FLAIR MR image.
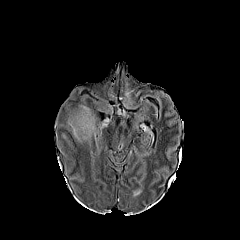
T1-weighted MRI.
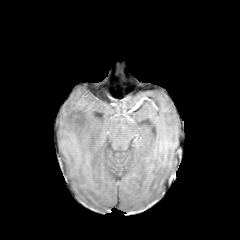
Post-contrast T1-weighted MRI.
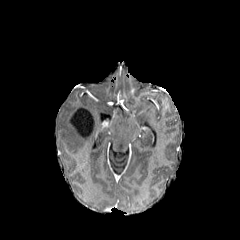
T2-weighted MRI.
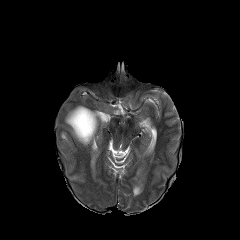
Head | Axial plane
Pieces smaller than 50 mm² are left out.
{"necrotic_tumor_core": ["box(69, 108, 94, 138)"], "peritumoral_edema": ["box(67, 105, 97, 144)"]}